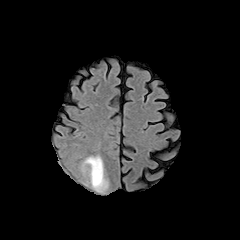
FLAIR MRI.
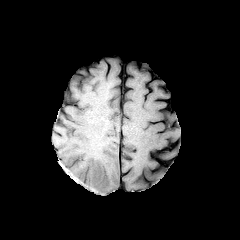
Same slice, T1-weighted MR image.
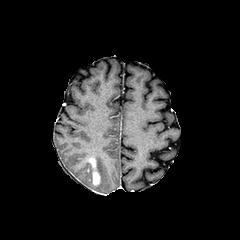
Same slice, post-contrast T1-weighted magnetic resonance.
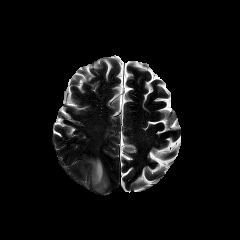
T2-weighted MR.
Head; Axial slice; Image size 240x240
The peritumoral edema lies within 82, 156, 108, 191. The enhancing tumor lies within 87, 158, 100, 185.